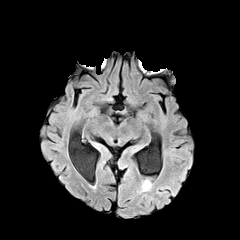
FLAIR magnetic resonance.
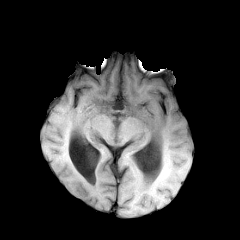
T1-weighted MRI of the same slice.
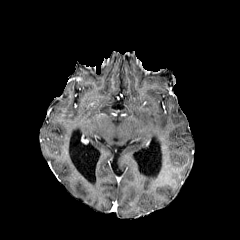
Same slice, post-contrast T1-weighted MR image.
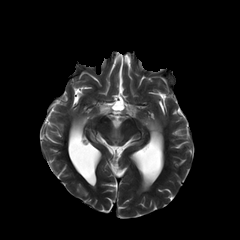
T2-weighted magnetic resonance of the same slice.
The peritumoral edema appears at [142,179,151,191].